FLAIR MR.
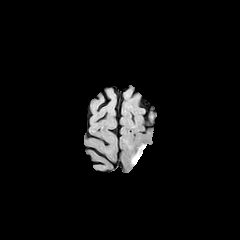
T1-weighted MR image.
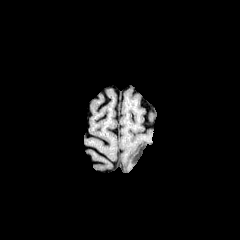
Post-contrast T1-weighted magnetic resonance.
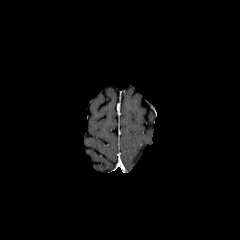
T2-weighted MRI.
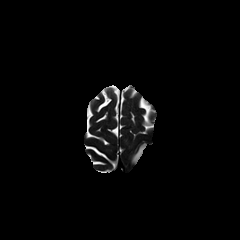
240x240 px.
peritumoral_edema:
  - box(132, 145, 145, 164)